FLAIR MR image.
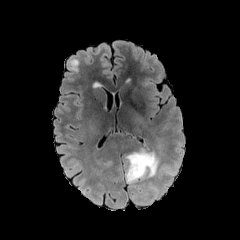
T1-weighted MR.
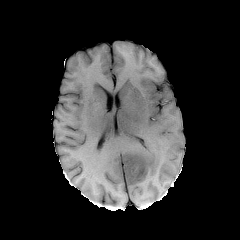
Post-contrast T1-weighted MRI.
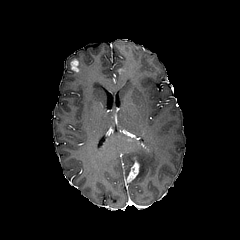
T2-weighted MRI.
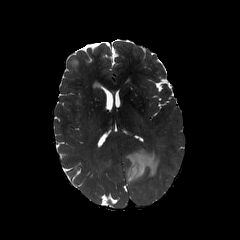
Brain
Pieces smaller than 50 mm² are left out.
* peritumoral edema: left=124, top=148, right=159, bottom=186
* enhancing tumor: left=126, top=158, right=139, bottom=182; left=69, top=58, right=79, bottom=71